Slice 63/155 | Axial slice
FLAIR MR.
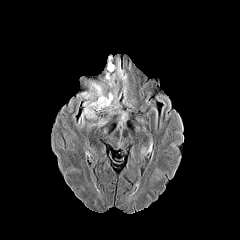
T1-weighted MR.
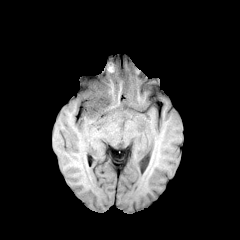
Post-contrast T1-weighted magnetic resonance.
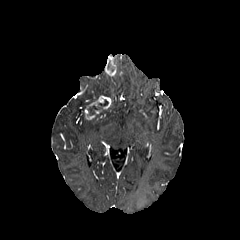
T2-weighted magnetic resonance.
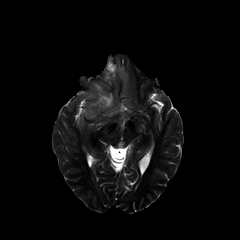
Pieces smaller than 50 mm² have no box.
peritumoral edema at {"x1": 82, "y1": 83, "x2": 105, "y2": 99}, {"x1": 105, "y1": 55, "x2": 127, "y2": 86}, {"x1": 118, "y1": 109, "x2": 126, "y2": 124}, {"x1": 88, "y1": 119, "x2": 106, "y2": 126}, {"x1": 107, "y1": 92, "x2": 120, "y2": 110}
enhancing tumor at {"x1": 105, "y1": 56, "x2": 117, "y2": 76}, {"x1": 84, "y1": 95, "x2": 111, "y2": 119}
necrotic tumor core at {"x1": 88, "y1": 99, "x2": 108, "y2": 115}